Image size 240x240 | Slice index 70 | Head | Axial slice
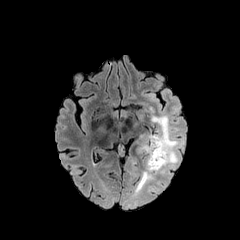
FLAIR MR image.
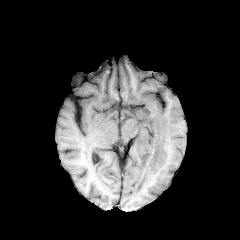
T1-weighted MR image of the same slice.
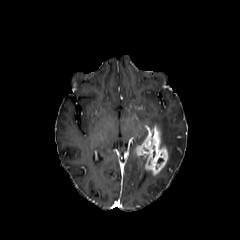
Post-contrast T1-weighted MR.
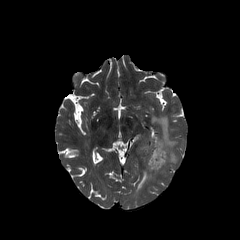
T2-weighted magnetic resonance.
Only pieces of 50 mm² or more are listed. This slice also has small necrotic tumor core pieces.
<segmentation>
  <enhancing_tumor>136, 125, 168, 174</enhancing_tumor>
  <peritumoral_edema>151, 115, 183, 174; 134, 169, 155, 191</peritumoral_edema>
</segmentation>